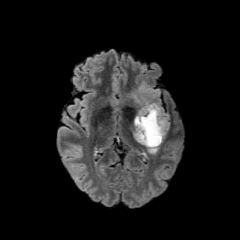
FLAIR MRI.
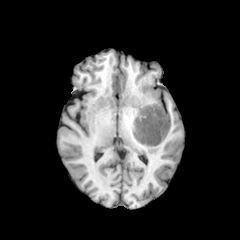
T1-weighted MRI.
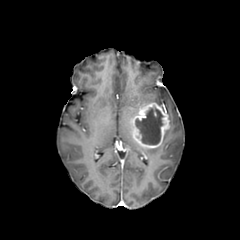
Post-contrast T1-weighted magnetic resonance.
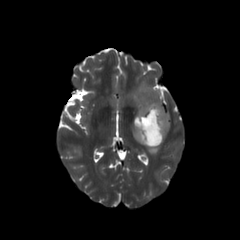
Same slice, T2-weighted MRI.
Head
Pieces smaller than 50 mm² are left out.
<segmentation>
  <enhancing_tumor>(132,103,169,148)</enhancing_tumor>
  <peritumoral_edema>(147,146,159,154), (128,82,161,105)</peritumoral_edema>
  <necrotic_tumor_core>(135,107,163,144)</necrotic_tumor_core>
</segmentation>